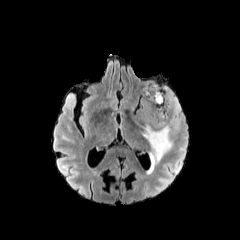
FLAIR magnetic resonance.
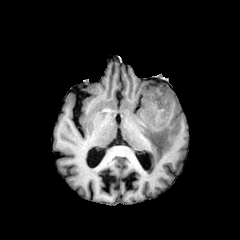
Same slice, T1-weighted MR image.
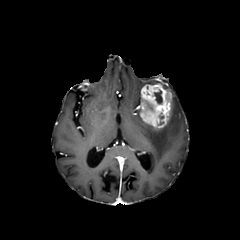
Post-contrast T1-weighted MRI.
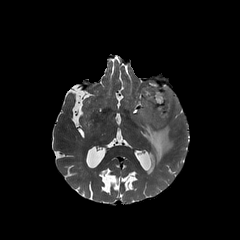
T2-weighted MR.
Axial slice, Head
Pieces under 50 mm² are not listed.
Findings:
- peritumoral edema: x1=142, y1=96, x2=180, y2=173
- enhancing tumor: x1=140, y1=83, x2=172, y2=128
- necrotic tumor core: x1=154, y1=90, x2=162, y2=103